240x240. Slice index 63. Brain. Axial view.
FLAIR MRI.
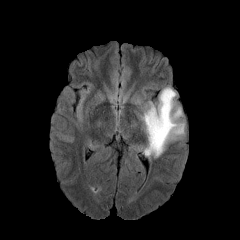
T1-weighted MRI.
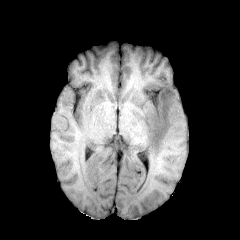
Post-contrast T1-weighted MR image.
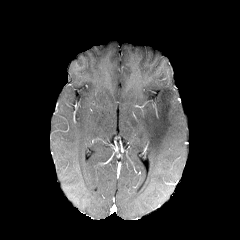
T2-weighted MR.
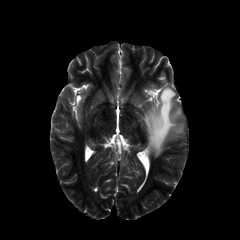
peritumoral edema = 140,86,184,157